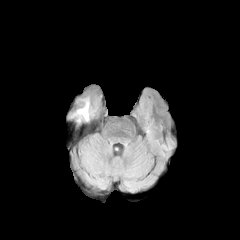
FLAIR magnetic resonance.
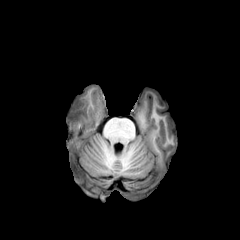
T1-weighted MRI.
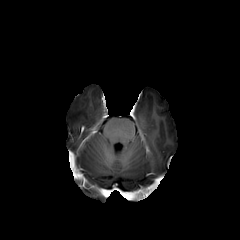
Post-contrast T1-weighted MR.
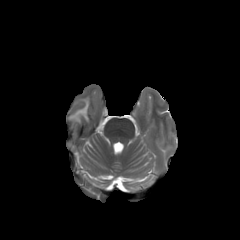
Same slice, T2-weighted MR image.
{"peritumoral_edema": ["rect(73, 100, 89, 122)"]}